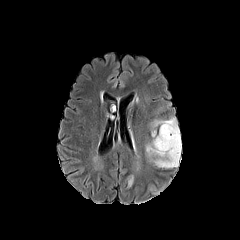
FLAIR MRI.
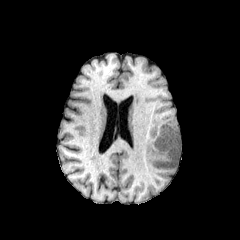
T1-weighted MR.
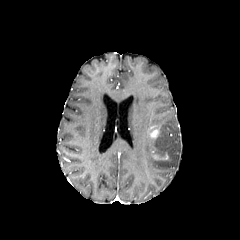
Same slice, post-contrast T1-weighted magnetic resonance.
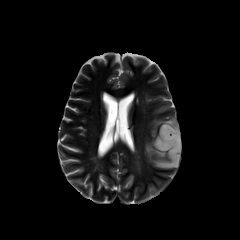
Same slice, T2-weighted MR image.
Brain
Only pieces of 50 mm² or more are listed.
The 2 largest peritumoral edema regions appear at box=[145, 116, 181, 168]; box=[128, 176, 133, 188]. The 2 largest enhancing tumor regions are bounded by box=[150, 130, 158, 137]; box=[151, 153, 168, 159].